Brain; 240x240 px
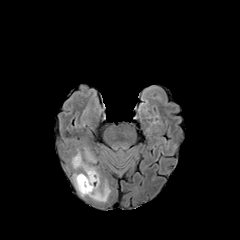
FLAIR MR image.
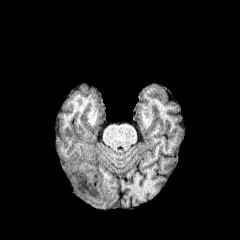
T1-weighted magnetic resonance of the same slice.
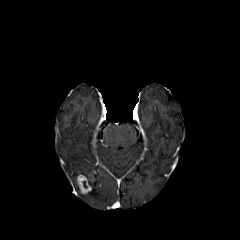
Post-contrast T1-weighted MR image.
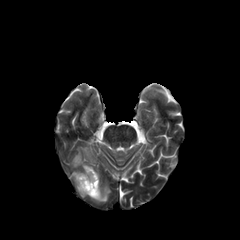
T2-weighted magnetic resonance.
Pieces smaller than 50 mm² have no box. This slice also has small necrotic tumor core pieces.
The largest enhancing tumor region is bounded by left=77, top=174, right=91, bottom=194. 2 peritumoral edema regions are located at left=84, top=148, right=93, bottom=160; left=72, top=148, right=110, bottom=202.